Image width 240 mm, 1.00 mm slice spacing | Slice index 82 | Brain
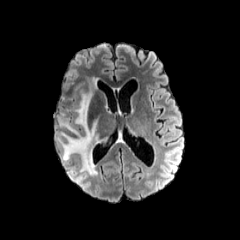
FLAIR MR.
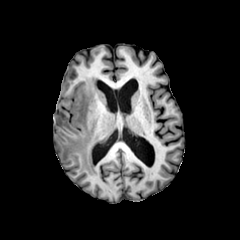
Same slice, T1-weighted MR.
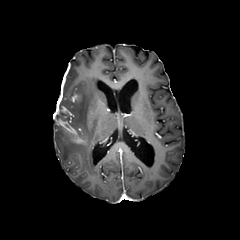
Post-contrast T1-weighted MR image.
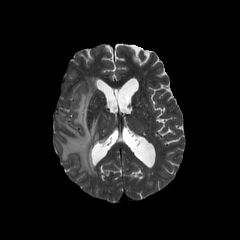
T2-weighted MRI of the same slice.
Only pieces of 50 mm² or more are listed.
The largest enhancing tumor region lies within (left=58, top=119, right=86, bottom=143). The peritumoral edema is located at (left=57, top=79, right=99, bottom=175).